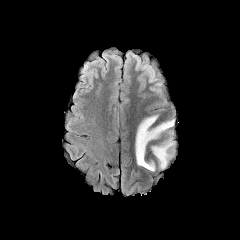
FLAIR magnetic resonance.
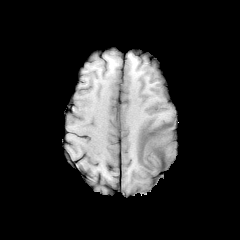
T1-weighted MRI.
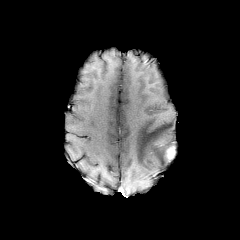
Same slice, post-contrast T1-weighted MRI.
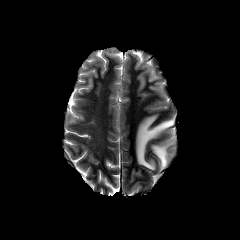
T2-weighted magnetic resonance.
Brain
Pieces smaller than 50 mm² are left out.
peritumoral edema: bounding box region(135, 115, 175, 171)
enhancing tumor: bounding box region(166, 145, 175, 160)